FLAIR MRI.
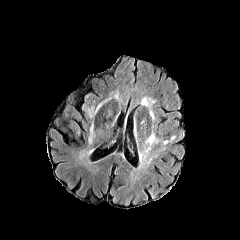
T1-weighted MR image.
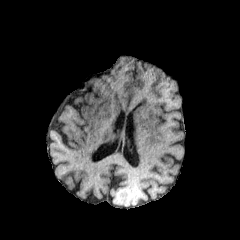
Post-contrast T1-weighted MR.
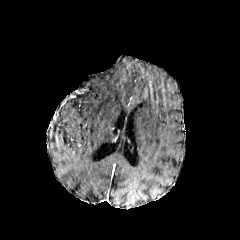
T2-weighted MR image.
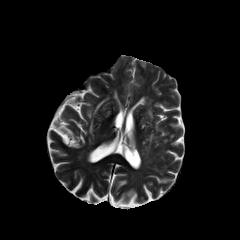
- peritumoral edema: <box>89,123,93,142</box>, <box>89,99,108,117</box>